Axial view; Slice 97 of 155
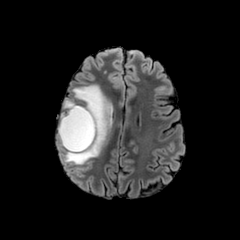
FLAIR magnetic resonance.
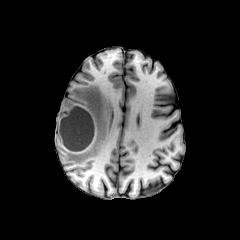
Same slice, T1-weighted MR image.
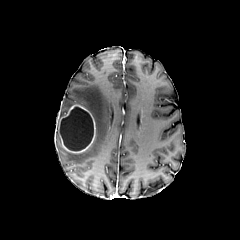
Post-contrast T1-weighted MR image.
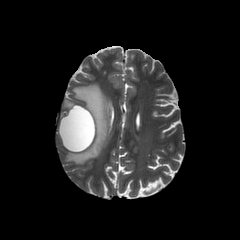
T2-weighted MR image of the same slice.
peritumoral edema at (57, 84, 112, 164), (60, 98, 75, 118)
enhancing tumor at (58, 104, 96, 153)
necrotic tumor core at (59, 107, 93, 150)